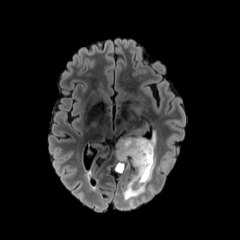
FLAIR MRI.
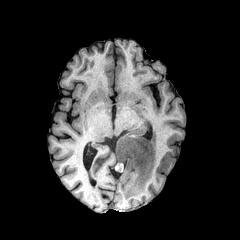
T1-weighted magnetic resonance.
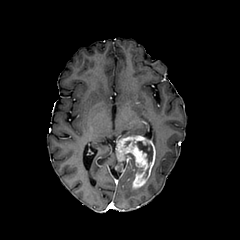
Same slice, post-contrast T1-weighted MR.
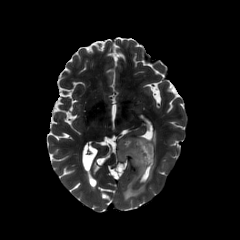
T2-weighted MRI of the same slice.
Head.
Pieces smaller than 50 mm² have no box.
enhancing tumor at (x1=115, y1=135, x2=155, y2=189)
necrotic tumor core at (x1=137, y1=141, x2=152, y2=162)
peritumoral edema at (x1=149, y1=133, x2=156, y2=148), (x1=123, y1=174, x2=145, y2=200)